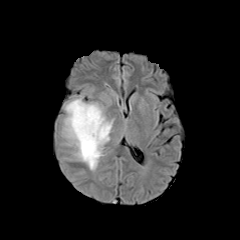
FLAIR MR.
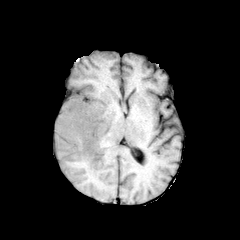
Same slice, T1-weighted MR.
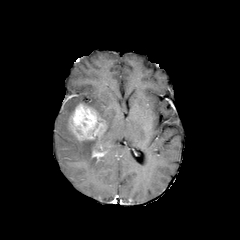
Same slice, post-contrast T1-weighted MR image.
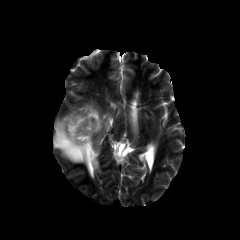
T2-weighted MR image.
Brain
enhancing_tumor:
  - (92, 150, 101, 158)
  - (68, 103, 106, 140)
peritumoral_edema:
  - (57, 96, 114, 171)